Axial slice. 240x240. Head. Slice 95/155.
FLAIR magnetic resonance.
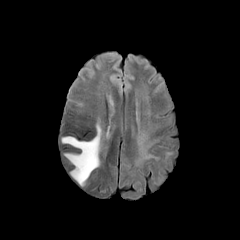
T1-weighted magnetic resonance.
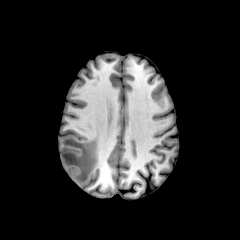
Post-contrast T1-weighted magnetic resonance.
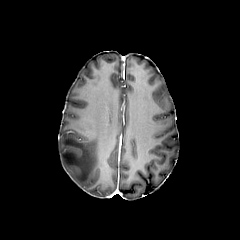
T2-weighted MR image.
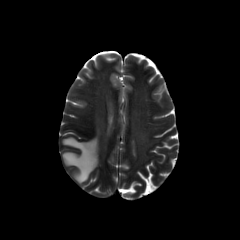
The peritumoral edema is located at box(62, 125, 101, 186).